FLAIR MR.
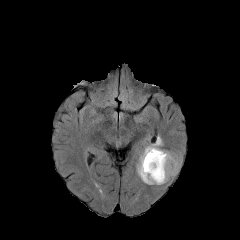
T1-weighted MRI.
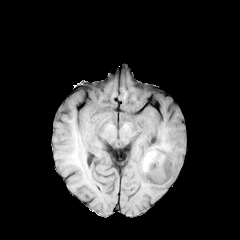
Post-contrast T1-weighted magnetic resonance.
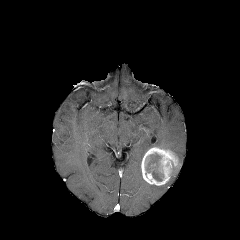
T2-weighted MR image.
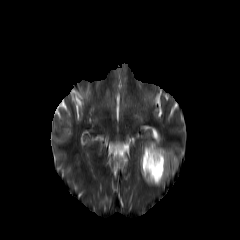
Brain.
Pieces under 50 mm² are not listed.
<segmentation>
  <peritumoral_edema>[136,134,163,184], [176,152,182,166]</peritumoral_edema>
  <enhancing_tumor>[141,147,179,185]</enhancing_tumor>
  <necrotic_tumor_core>[145,153,162,180]</necrotic_tumor_core>
</segmentation>